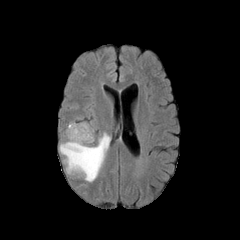
FLAIR magnetic resonance.
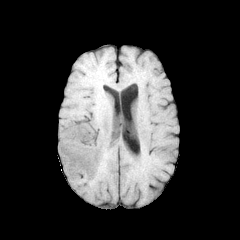
T1-weighted MR image.
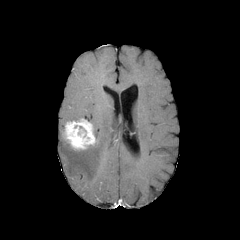
Post-contrast T1-weighted MRI.
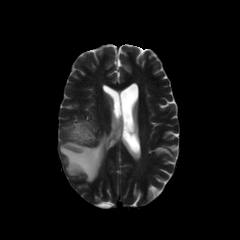
T2-weighted MR image.
Brain; Axial slice
The peritumoral edema is located at {"x1": 59, "y1": 132, "x2": 110, "y2": 182}. The enhancing tumor appears at {"x1": 65, "y1": 119, "x2": 95, "y2": 149}.